Head; Image covers 240 mm x 240 mm
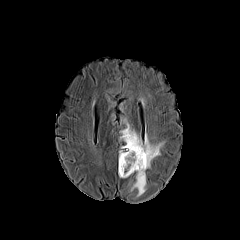
FLAIR MRI.
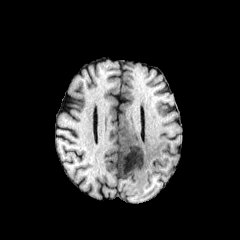
Same slice, T1-weighted magnetic resonance.
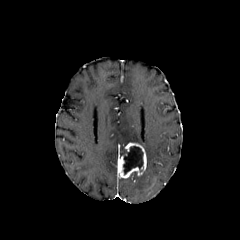
Post-contrast T1-weighted MR.
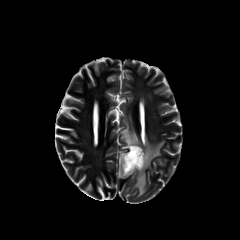
T2-weighted MR.
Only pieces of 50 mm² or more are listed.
enhancing tumor: bbox(118, 142, 146, 178) | necrotic tumor core: bbox(120, 146, 143, 174) | peritumoral edema: bbox(120, 120, 163, 168); bbox(128, 171, 146, 196)